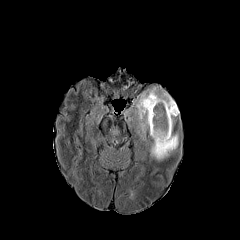
FLAIR MR image.
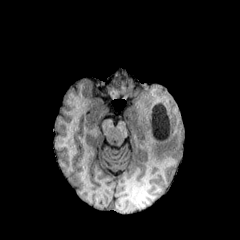
T1-weighted MR.
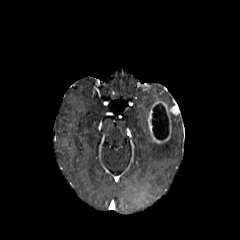
Post-contrast T1-weighted MRI.
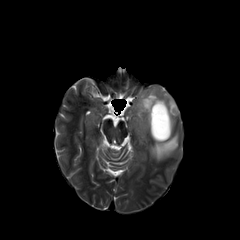
T2-weighted magnetic resonance.
Axial slice
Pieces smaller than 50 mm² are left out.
Segmented structures:
* peritumoral edema: 150,133,178,160; 136,87,173,139
* necrotic tumor core: 152,103,169,140
* enhancing tumor: 147,100,179,144